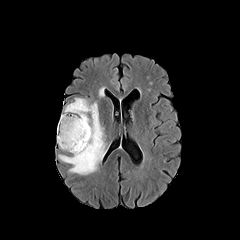
FLAIR magnetic resonance.
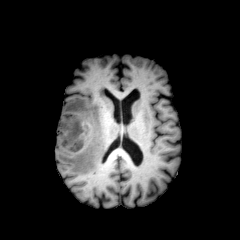
Same slice, T1-weighted MR.
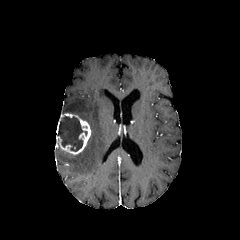
Post-contrast T1-weighted MR.
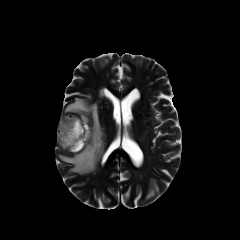
T2-weighted MRI of the same slice.
Axial slice.
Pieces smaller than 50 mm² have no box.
peritumoral edema = region(58, 98, 106, 174)
enhancing tumor = region(56, 113, 91, 154)
necrotic tumor core = region(58, 116, 82, 151)